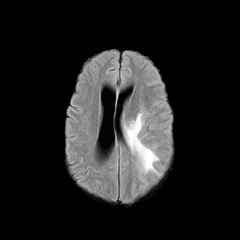
FLAIR MRI.
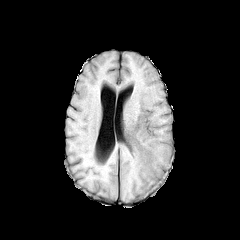
T1-weighted MRI.
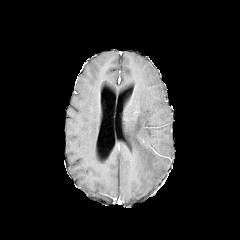
Same slice, post-contrast T1-weighted MRI.
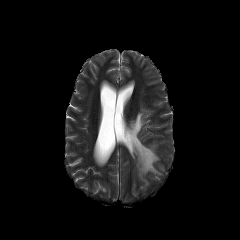
Same slice, T2-weighted MRI.
Axial view
Annotated regions:
• peritumoral edema: l=124, t=112, r=159, b=174